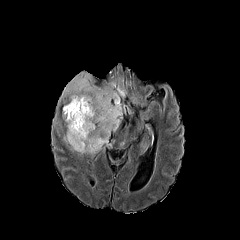
FLAIR magnetic resonance.
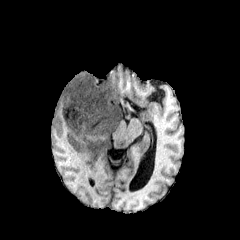
T1-weighted MR image of the same slice.
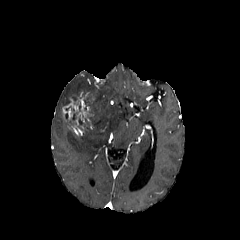
Post-contrast T1-weighted MR image.
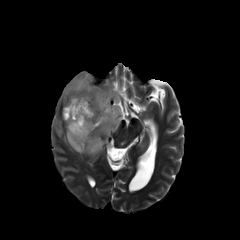
T2-weighted MR image of the same slice.
240x240 px
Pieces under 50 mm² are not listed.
Annotated regions:
* enhancing tumor: (left=62, top=92, right=95, bottom=136)
* peritumoral edema: (left=61, top=72, right=126, bottom=154)
* necrotic tumor core: (left=79, top=119, right=90, bottom=130)